Axial slice; Image width 240 mm; Slice index 101
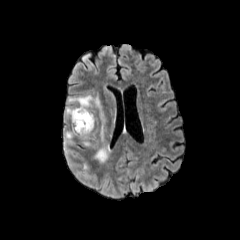
FLAIR MR.
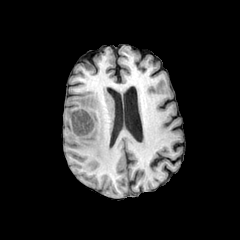
Same slice, T1-weighted MRI.
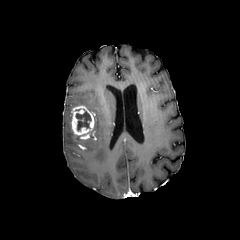
Post-contrast T1-weighted MRI.
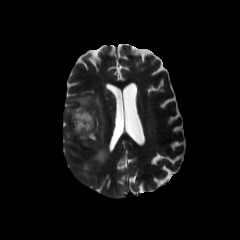
T2-weighted MR image of the same slice.
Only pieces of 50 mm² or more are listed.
Annotated regions:
* enhancing tumor: bbox(71, 105, 96, 142)
* necrotic tumor core: bbox(76, 111, 91, 130)
* peritumoral edema: bbox(65, 106, 73, 119); bbox(68, 92, 110, 164); bbox(109, 113, 116, 139); bbox(103, 84, 112, 94); bbox(64, 130, 75, 152)